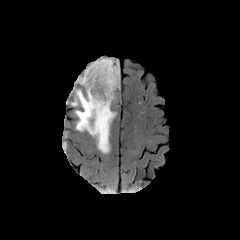
FLAIR MR.
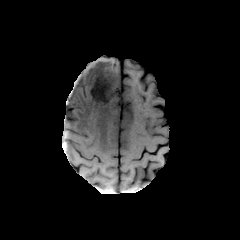
T1-weighted MRI of the same slice.
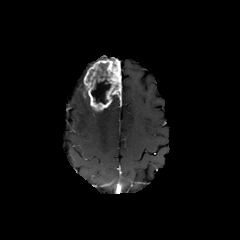
Post-contrast T1-weighted MRI.
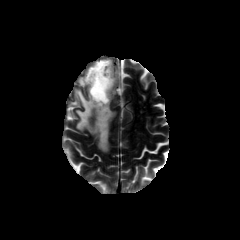
T2-weighted MRI.
240x240
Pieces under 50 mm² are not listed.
<segmentation>
  <necrotic_tumor_core>91:79:110:103</necrotic_tumor_core>
  <enhancing_tumor>83:58:121:111</enhancing_tumor>
  <peritumoral_edema>68:61:118:153</peritumoral_edema>
</segmentation>